Slice 93/155, Brain, Axial view
FLAIR MRI.
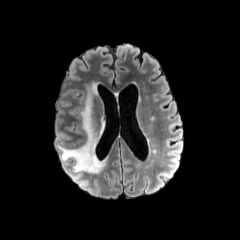
T1-weighted magnetic resonance.
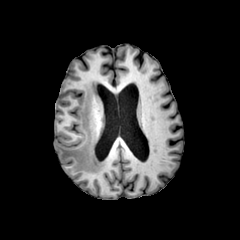
Post-contrast T1-weighted MRI.
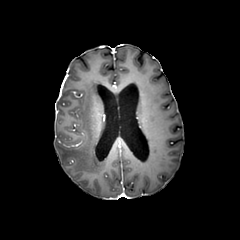
T2-weighted MRI.
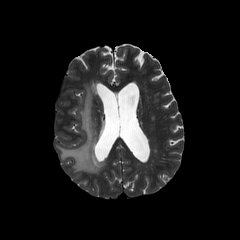
peritumoral edema: left=57, top=83, right=104, bottom=173